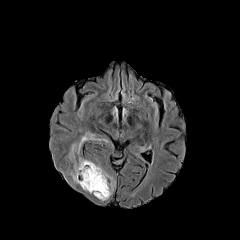
FLAIR MR image.
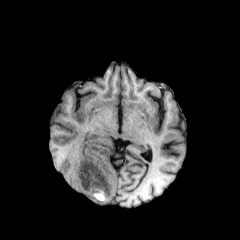
T1-weighted MR image.
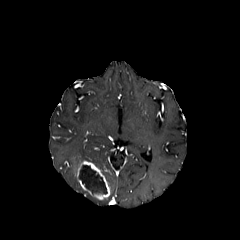
Same slice, post-contrast T1-weighted MR image.
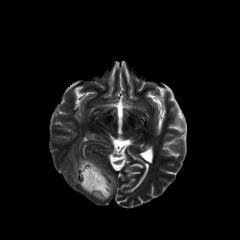
T2-weighted MRI.
Axial plane, Head
Findings:
- peritumoral edema: 70, 171, 78, 183; 94, 164, 115, 201; 69, 129, 108, 171
- enhancing tumor: 75, 161, 110, 199
- necrotic tumor core: 79, 165, 107, 194